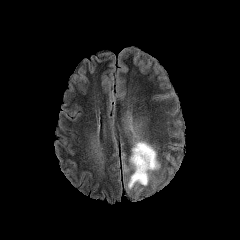
FLAIR MR image.
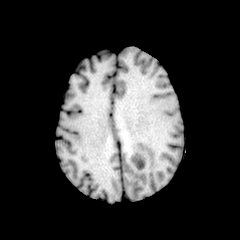
T1-weighted MR image of the same slice.
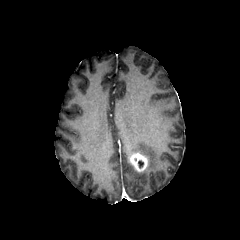
Post-contrast T1-weighted magnetic resonance of the same slice.
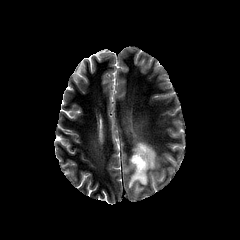
T2-weighted magnetic resonance.
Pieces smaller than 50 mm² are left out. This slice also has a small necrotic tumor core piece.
peritumoral_edema:
  - 128, 142, 158, 188
enhancing_tumor:
  - 129, 152, 148, 172